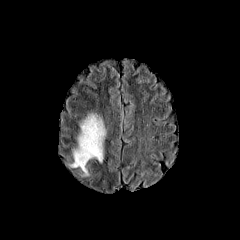
FLAIR MR.
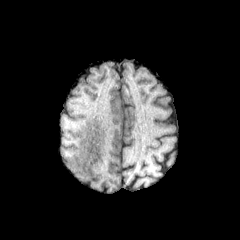
T1-weighted MR.
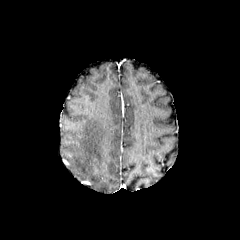
Same slice, post-contrast T1-weighted MR.
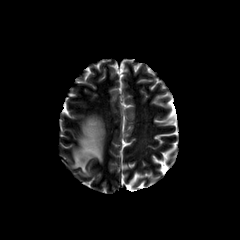
T2-weighted MR image.
Brain
peritumoral_edema:
  - x1=69 y1=113 x2=105 y2=176